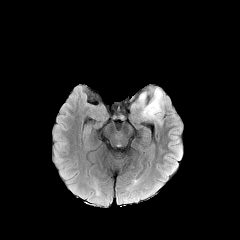
FLAIR magnetic resonance.
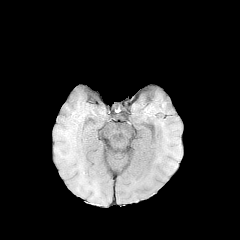
T1-weighted MRI.
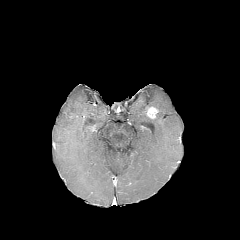
Post-contrast T1-weighted magnetic resonance.
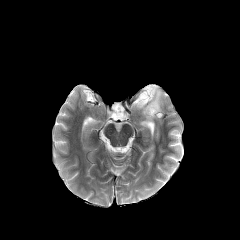
T2-weighted magnetic resonance of the same slice.
Head
<segmentation>
  <peritumoral_edema>bbox=[132, 87, 165, 123]</peritumoral_edema>
  <enhancing_tumor>bbox=[146, 106, 158, 118]</enhancing_tumor>
</segmentation>